FLAIR MR.
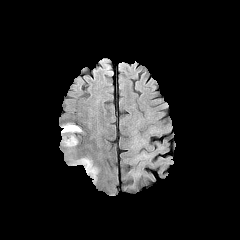
T1-weighted MR image.
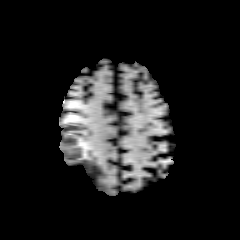
Post-contrast T1-weighted MRI.
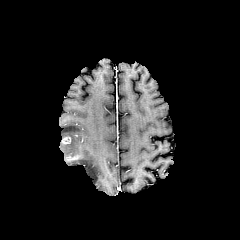
T2-weighted MR.
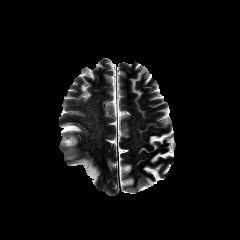
240x240
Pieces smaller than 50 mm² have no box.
The 3 largest peritumoral edema regions appear at <bbox>62, 135, 77, 148</bbox>, <bbox>71, 158, 98, 182</bbox>, <bbox>61, 123, 81, 134</bbox>. 2 enhancing tumor regions appear at <bbox>65, 155, 79, 160</bbox>, <bbox>61, 137, 71, 144</bbox>.